Image width 240 mm
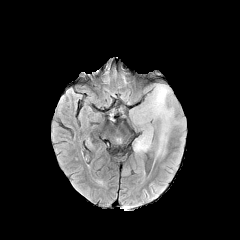
FLAIR MR image.
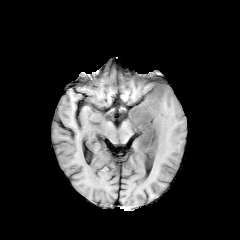
T1-weighted MRI of the same slice.
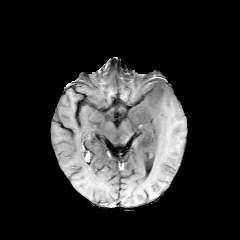
Post-contrast T1-weighted magnetic resonance.
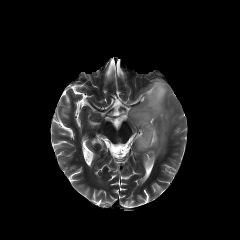
T2-weighted magnetic resonance.
<segmentation>
  <peritumoral_edema>128 82 182 157</peritumoral_edema>
</segmentation>